Head. Image width 240 mm, 1.00 mm slice spacing.
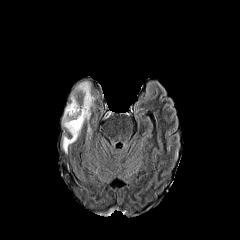
FLAIR MR image.
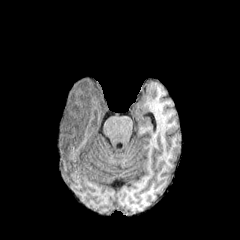
T1-weighted MRI.
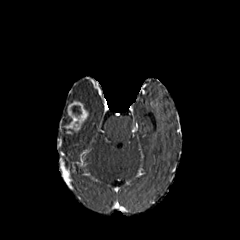
Post-contrast T1-weighted magnetic resonance.
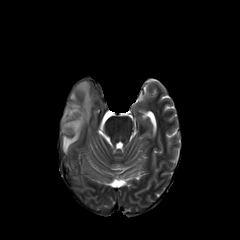
Same slice, T2-weighted MR.
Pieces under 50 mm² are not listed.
The largest necrotic tumor core region is located at <bbox>72, 105, 81, 114</bbox>. The 3 largest peritumoral edema regions are located at <bbox>70, 81, 95, 120</bbox>, <bbox>63, 130, 80, 152</bbox>, <bbox>62, 107, 67, 127</bbox>. The enhancing tumor is located at <bbox>64, 100, 88, 133</bbox>.